240x240 px; Axial view; Head; Slice index 80
FLAIR magnetic resonance.
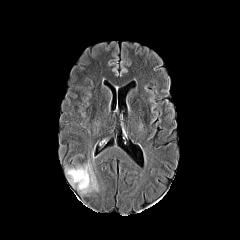
T1-weighted magnetic resonance.
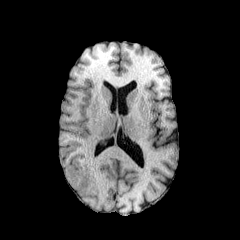
Post-contrast T1-weighted magnetic resonance.
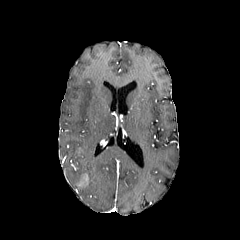
T2-weighted MRI.
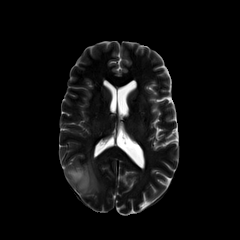
The peritumoral edema is located at box(66, 162, 98, 194). The enhancing tumor is at box(78, 173, 88, 187).